FLAIR MRI.
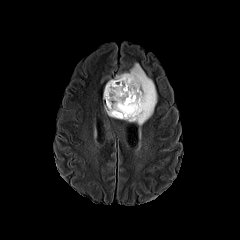
T1-weighted MR image.
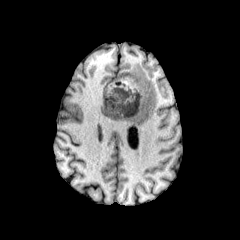
Post-contrast T1-weighted MR.
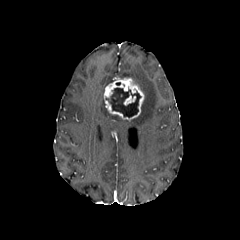
T2-weighted MRI.
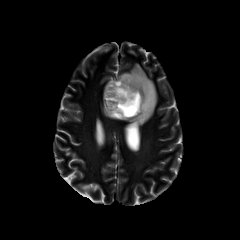
240x240 px
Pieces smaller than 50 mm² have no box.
necrotic tumor core = (106, 88, 140, 117)
peritumoral edema = (116, 63, 156, 125)
enhancing tumor = (123, 95, 135, 105), (104, 77, 144, 120)